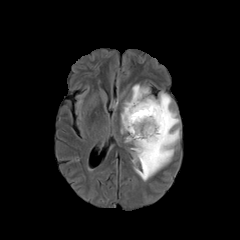
FLAIR magnetic resonance.
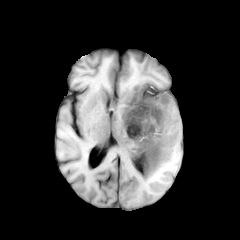
T1-weighted magnetic resonance of the same slice.
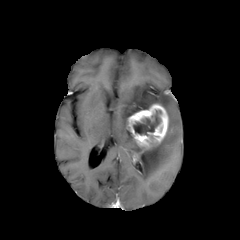
Post-contrast T1-weighted MRI of the same slice.
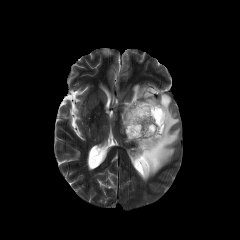
T2-weighted MR image.
Axial slice
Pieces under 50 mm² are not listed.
{"necrotic_tumor_core": ["133, 111, 160, 135"], "peritumoral_edema": ["121, 84, 179, 180"], "enhancing_tumor": ["126, 103, 168, 152"]}